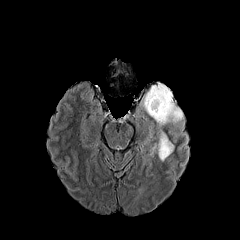
FLAIR MRI.
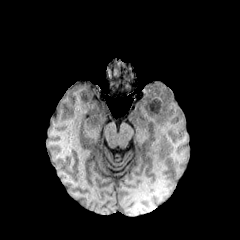
Same slice, T1-weighted MRI.
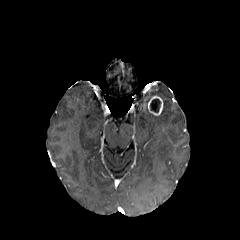
Post-contrast T1-weighted MR.
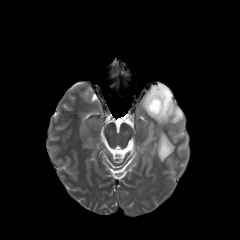
T2-weighted MRI.
Image size 240x240
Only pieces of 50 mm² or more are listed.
<segmentation>
  <enhancing_tumor>(x1=148, y1=95, x2=163, y2=115)</enhancing_tumor>
  <necrotic_tumor_core>(x1=150, y1=98, x2=160, y2=112)</necrotic_tumor_core>
  <peritumoral_edema>(x1=140, y1=83, x2=183, y2=126), (x1=152, y1=130, x2=174, y2=161)</peritumoral_edema>
</segmentation>